FLAIR MR.
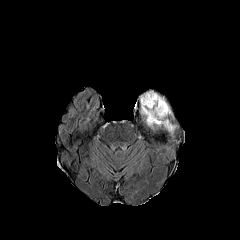
T1-weighted MRI.
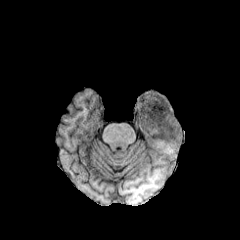
Post-contrast T1-weighted MR.
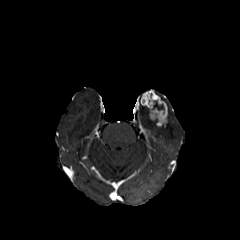
T2-weighted magnetic resonance.
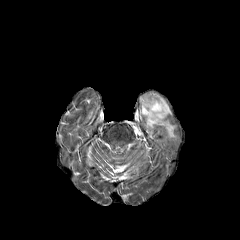
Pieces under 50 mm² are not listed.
The necrotic tumor core is located at bbox=[153, 101, 164, 110]. The 2 largest peritumoral edema regions appear at bbox=[165, 120, 176, 137]; bbox=[140, 105, 157, 129]. The enhancing tumor is located at bbox=[141, 90, 168, 127].